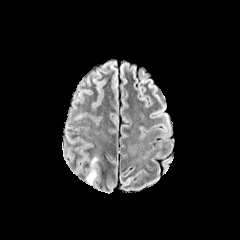
FLAIR MR.
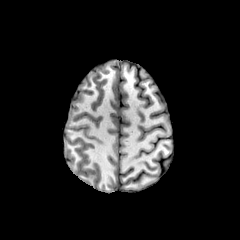
T1-weighted MR image of the same slice.
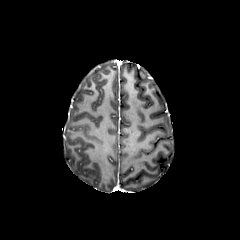
Post-contrast T1-weighted MR image.
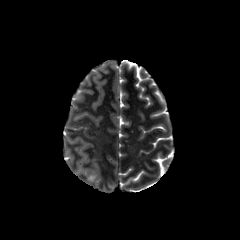
T2-weighted MR image of the same slice.
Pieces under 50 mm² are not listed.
<segmentation>
  <peritumoral_edema>87, 170, 96, 183</peritumoral_edema>
</segmentation>